FLAIR MR.
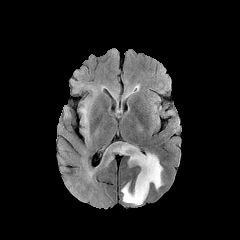
T1-weighted MR image.
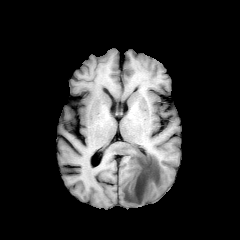
Post-contrast T1-weighted magnetic resonance.
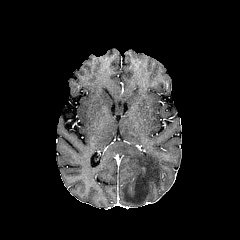
T2-weighted MRI.
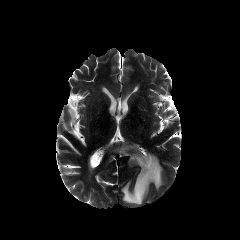
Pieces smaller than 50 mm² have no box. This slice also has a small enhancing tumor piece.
peritumoral edema: <box>116,144,162,205</box>, <box>80,108,87,121</box>